Brain. Slice 68/155.
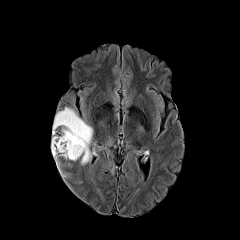
FLAIR MR.
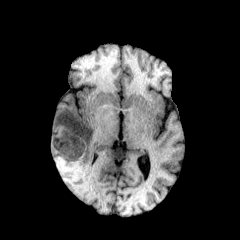
T1-weighted magnetic resonance.
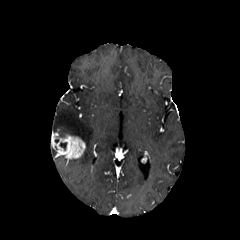
Same slice, post-contrast T1-weighted MRI.
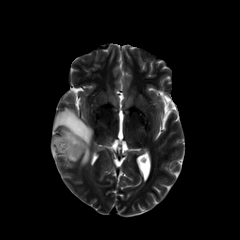
Same slice, T2-weighted magnetic resonance.
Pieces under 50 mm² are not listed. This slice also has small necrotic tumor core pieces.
peritumoral edema: [53,107,93,165] | enhancing tumor: [51,134,85,159]